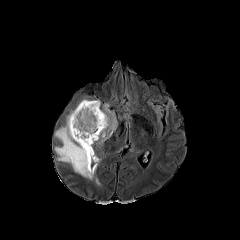
FLAIR MR.
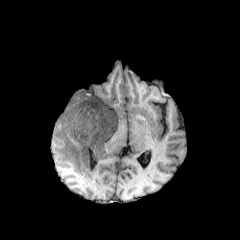
T1-weighted MRI of the same slice.
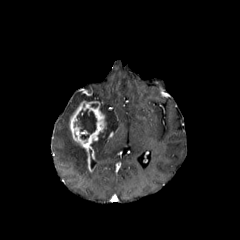
Post-contrast T1-weighted MRI of the same slice.
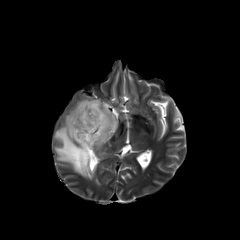
T2-weighted MR.
Brain.
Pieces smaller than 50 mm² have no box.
necrotic tumor core: box=[75, 109, 96, 139] | peritumoral edema: box=[54, 98, 101, 185]; box=[92, 103, 117, 146] | enhancing tumor: box=[69, 100, 106, 171]